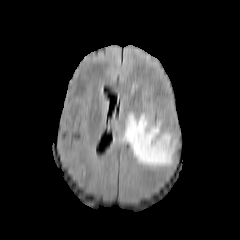
FLAIR MRI.
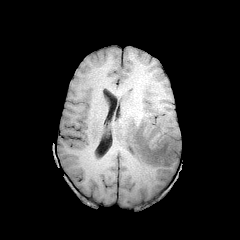
T1-weighted MR.
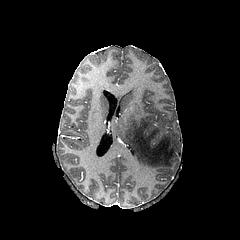
Post-contrast T1-weighted MR of the same slice.
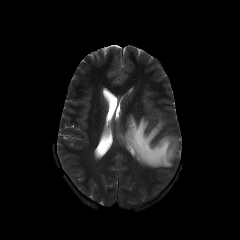
T2-weighted MR image of the same slice.
Head. 240x240.
peritumoral edema at [120, 113, 177, 167]